FLAIR MRI.
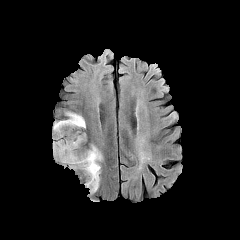
T1-weighted MRI.
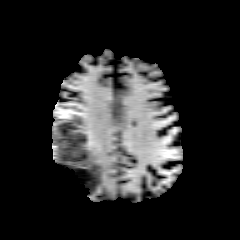
Post-contrast T1-weighted MR.
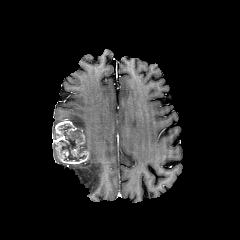
T2-weighted MRI.
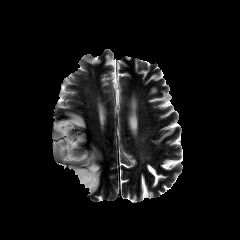
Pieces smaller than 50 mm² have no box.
{"peritumoral_edema": ["65:112:85:128", "71:131:81:139", "69:144:102:193"], "enhancing_tumor": ["52:120:89:164"], "necrotic_tumor_core": ["60:136:85:160"]}